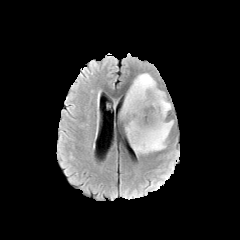
FLAIR MRI.
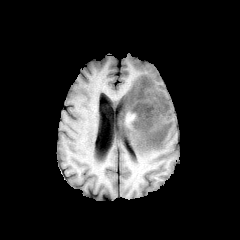
T1-weighted MRI.
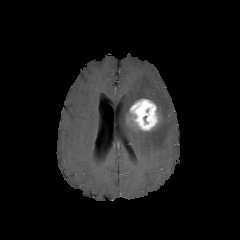
Post-contrast T1-weighted MR.
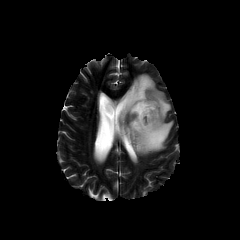
Same slice, T2-weighted magnetic resonance.
Axial view; Head
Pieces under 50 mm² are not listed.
peritumoral_edema:
  - region(119, 73, 173, 155)
enhancing_tumor:
  - region(129, 98, 161, 131)